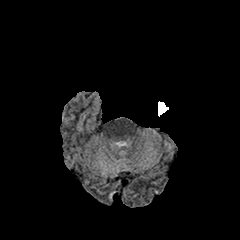
FLAIR MRI.
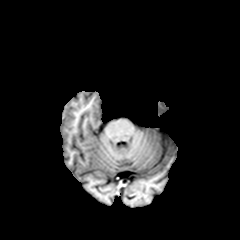
Same slice, T1-weighted MR.
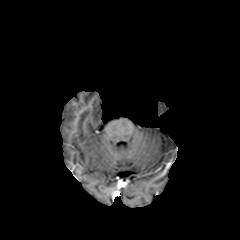
Post-contrast T1-weighted MR image.
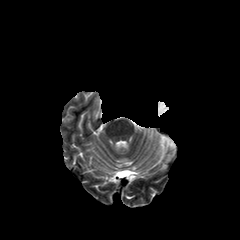
Same slice, T2-weighted MR.
Brain, 240x240
peritumoral_edema:
  - box(158, 101, 168, 116)